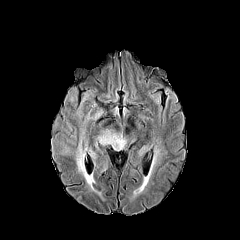
FLAIR MR image.
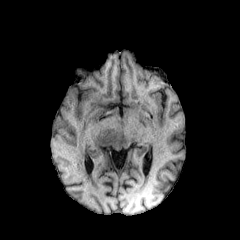
T1-weighted MR.
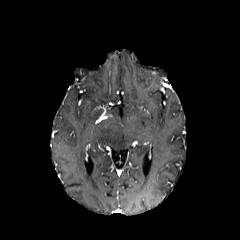
Post-contrast T1-weighted MR image of the same slice.
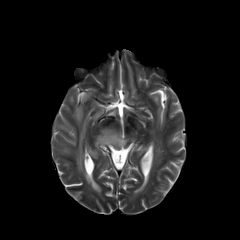
T2-weighted magnetic resonance of the same slice.
Brain
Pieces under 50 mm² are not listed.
* peritumoral edema: rect(60, 142, 70, 153); rect(97, 129, 126, 152); rect(75, 116, 94, 188)